Slice 87 of 155 | Brain
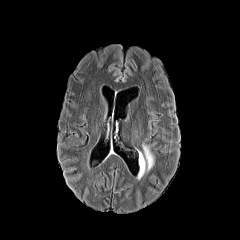
FLAIR MRI.
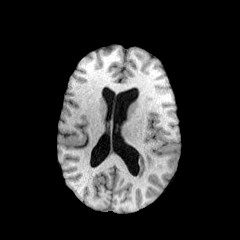
T1-weighted magnetic resonance.
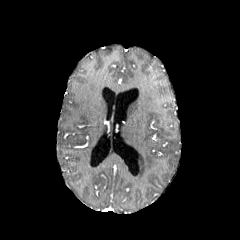
Post-contrast T1-weighted MR.
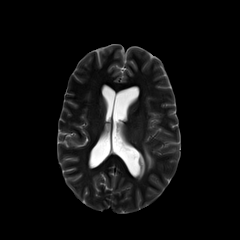
Same slice, T2-weighted magnetic resonance.
peritumoral edema: [x1=138, y1=145, x2=153, y2=179]